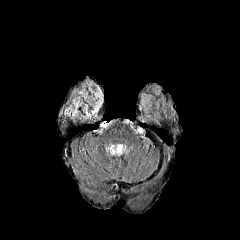
FLAIR MRI.
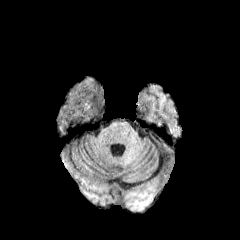
Same slice, T1-weighted MRI.
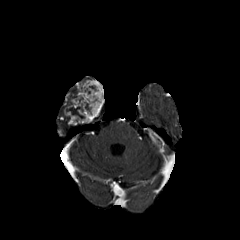
Post-contrast T1-weighted MRI.
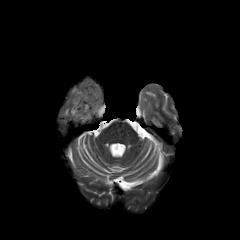
T2-weighted magnetic resonance.
Axial slice. Brain.
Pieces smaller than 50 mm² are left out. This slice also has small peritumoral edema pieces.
enhancing tumor — region(64, 80, 104, 124)
necrotic tumor core — region(66, 106, 84, 118)